Axial slice | Image covers 240 mm x 240 mm | Head | 240x240
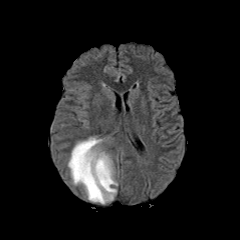
FLAIR MRI.
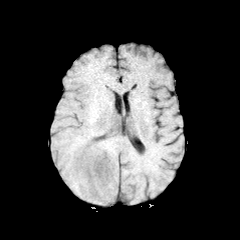
T1-weighted MR image.
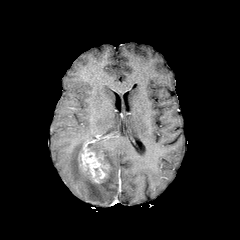
Post-contrast T1-weighted MRI.
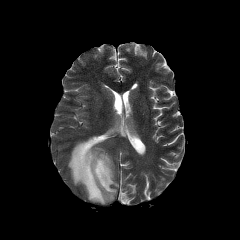
T2-weighted magnetic resonance.
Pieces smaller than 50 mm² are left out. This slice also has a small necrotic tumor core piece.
peritumoral edema at [68,137,117,203]
enhancing tumor at [78,139,109,183]